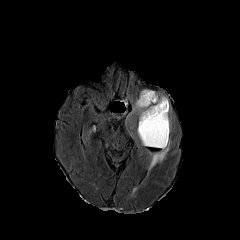
FLAIR MR.
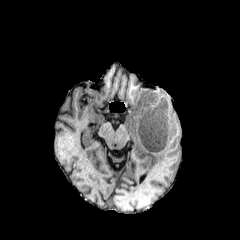
Same slice, T1-weighted MR.
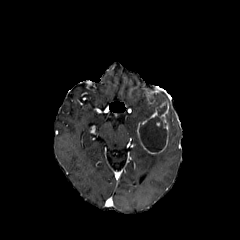
Same slice, post-contrast T1-weighted magnetic resonance.
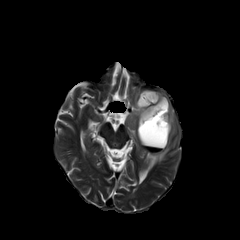
T2-weighted MRI of the same slice.
240x240.
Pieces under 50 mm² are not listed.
Segmented structures:
- enhancing tumor: 137:101:168:154, 145:90:156:104
- peritumoral edema: 133:90:167:121, 148:139:170:170, 166:113:170:133
- necrotic tumor core: 139:103:166:151